FLAIR MR image.
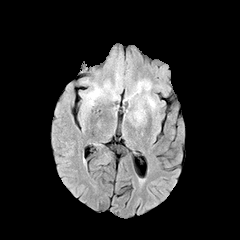
T1-weighted MR image.
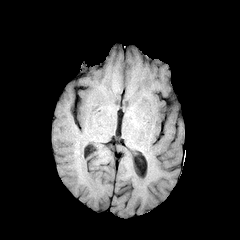
Post-contrast T1-weighted MR.
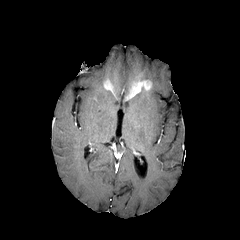
T2-weighted MRI.
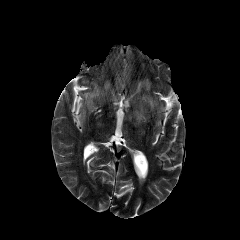
Axial view | 240x240 px
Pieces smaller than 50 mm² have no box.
The 3 largest peritumoral edema regions appear at [x1=143, y1=94, x2=156, y2=110], [x1=134, y1=104, x2=144, y2=121], [x1=84, y1=84, x2=118, y2=105]. 2 enhancing tumor regions are bounded by [x1=126, y1=80, x2=151, y2=99], [x1=104, y1=80, x2=113, y2=91].